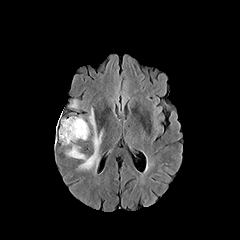
FLAIR magnetic resonance.
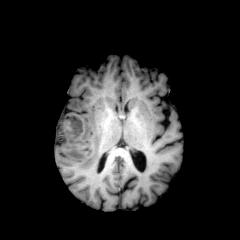
T1-weighted MR image.
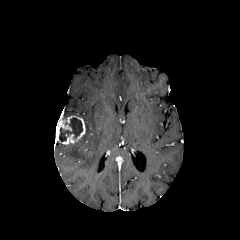
Post-contrast T1-weighted magnetic resonance.
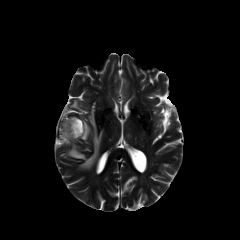
T2-weighted MRI.
Image size 240x240, Brain
<segmentation>
  <peritumoral_edema>region(67, 108, 102, 169); region(70, 100, 78, 108); region(82, 122, 89, 140)</peritumoral_edema>
  <enhancing_tumor>region(56, 116, 85, 144)</enhancing_tumor>
  <necrotic_tumor_core>region(59, 118, 82, 141)</necrotic_tumor_core>
</segmentation>